FLAIR MR.
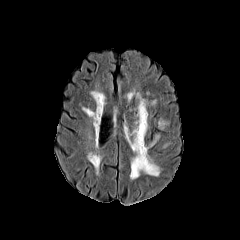
T1-weighted magnetic resonance.
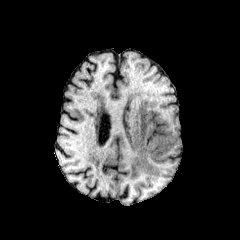
Post-contrast T1-weighted MR.
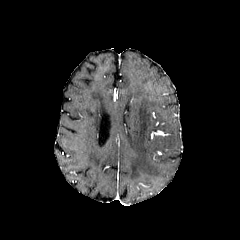
T2-weighted MRI.
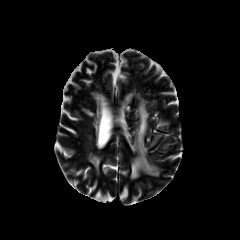
Axial view
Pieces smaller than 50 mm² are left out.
peritumoral edema: [x1=126, y1=99, x2=159, y2=179]